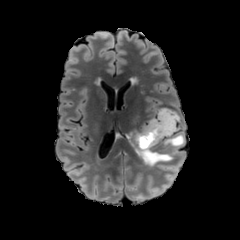
FLAIR MR.
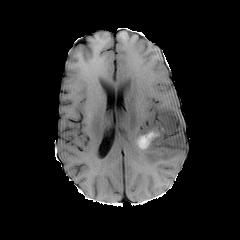
T1-weighted magnetic resonance.
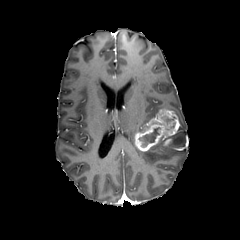
Post-contrast T1-weighted magnetic resonance of the same slice.
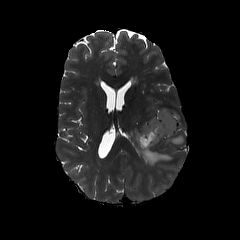
T2-weighted MR.
240x240 px, Brain
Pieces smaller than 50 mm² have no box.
The 2 largest peritumoral edema regions are located at left=169, top=133, right=184, bottom=147; left=131, top=131, right=173, bottom=166. The largest necrotic tumor core region is located at left=139, top=127, right=159, bottom=146. The enhancing tumor is at left=134, top=108, right=179, bottom=151.